FLAIR MR.
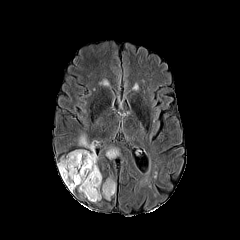
T1-weighted MR image.
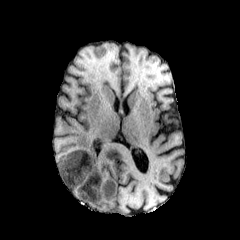
Post-contrast T1-weighted MR.
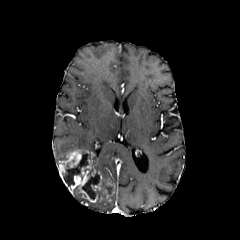
T2-weighted MR.
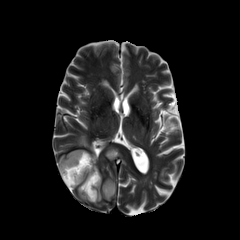
Head. Axial view. 240x240 px.
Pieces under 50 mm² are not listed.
necrotic tumor core: [62, 152, 90, 186], [82, 172, 102, 199]
enhancing tumor: [91, 172, 109, 197], [57, 150, 98, 202]
peritumoral edema: [101, 175, 116, 201], [106, 146, 119, 159], [79, 135, 98, 171]